Head. 240x240. Slice index 82.
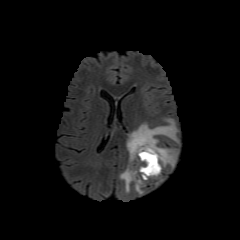
FLAIR MR.
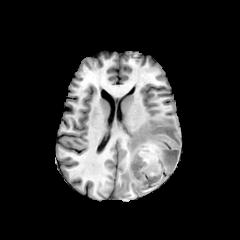
T1-weighted MR.
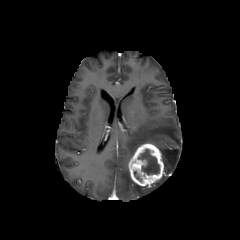
Same slice, post-contrast T1-weighted MR image.
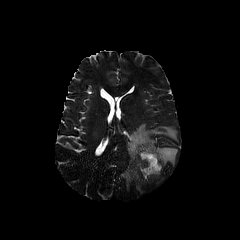
T2-weighted MR.
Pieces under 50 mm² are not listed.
The 3 largest peritumoral edema regions are located at bbox=[120, 166, 133, 192]; bbox=[135, 183, 143, 194]; bbox=[126, 118, 178, 167]. The largest necrotic tumor core region appears at bbox=[138, 149, 159, 174]. The enhancing tumor is bounded by bbox=[128, 142, 163, 187].